FLAIR magnetic resonance.
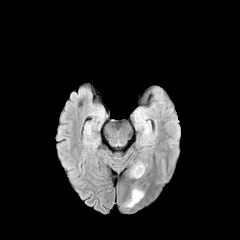
T1-weighted MR image.
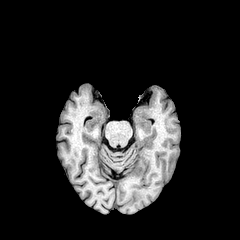
Post-contrast T1-weighted MR.
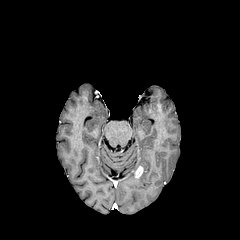
T2-weighted MRI.
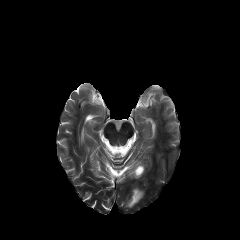
240x240 px.
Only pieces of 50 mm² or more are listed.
The largest peritumoral edema region is at <box>127,189,143,206</box>. The enhancing tumor lies within <box>135,166,143,177</box>.